Image size 240x240 | Head | Image width 240 mm, 1.00 mm slice spacing | Axial plane
FLAIR MRI.
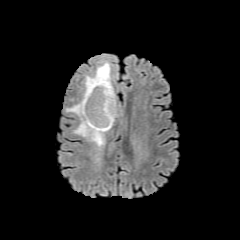
T1-weighted MR image.
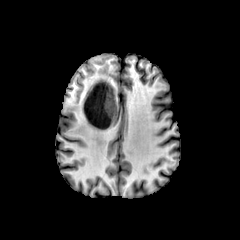
Post-contrast T1-weighted MR.
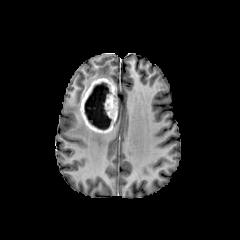
T2-weighted MR.
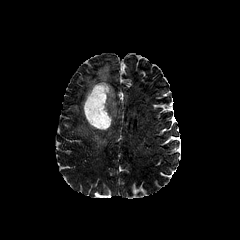
<segmentation>
  <necrotic_tumor_core>l=84, t=82, r=111, b=129</necrotic_tumor_core>
  <peritumoral_edema>l=66, t=100, r=106, b=148; l=83, t=62, r=111, b=96</peritumoral_edema>
  <enhancing_tumor>l=80, t=78, r=117, b=133</enhancing_tumor>
</segmentation>